FLAIR MR.
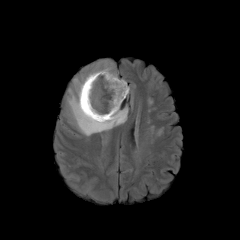
T1-weighted MR.
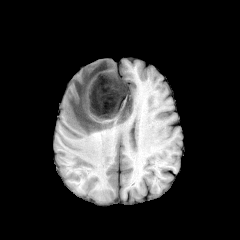
Post-contrast T1-weighted MR.
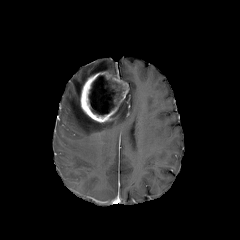
T2-weighted MR image.
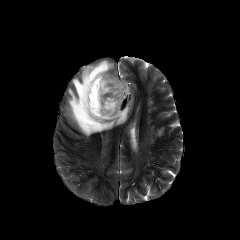
Axial plane; Brain
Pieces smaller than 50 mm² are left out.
Segmented structures:
• enhancing tumor: box=[80, 71, 129, 122]
• necrotic tumor core: box=[88, 75, 116, 115]
• peritumoral edema: box=[65, 59, 128, 136]